Brain.
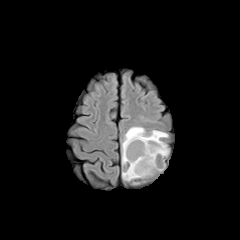
FLAIR MR image.
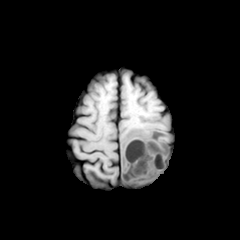
T1-weighted magnetic resonance of the same slice.
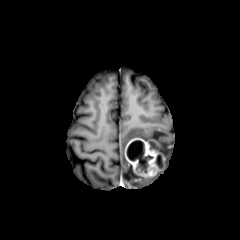
Post-contrast T1-weighted MR image.
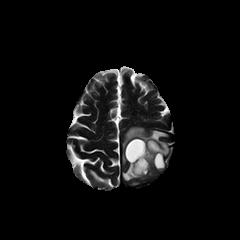
Same slice, T2-weighted magnetic resonance.
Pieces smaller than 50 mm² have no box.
peritumoral edema — left=122, top=163, right=147, bottom=181; left=122, top=126, right=169, bottom=166
enhancing tumor — left=125, top=138, right=170, bottom=176
necrotic tumor core — left=126, top=140, right=147, bottom=164; left=155, top=155, right=162, bottom=167